FLAIR magnetic resonance.
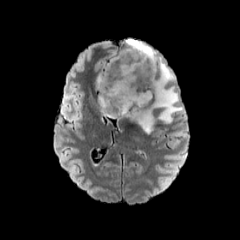
T1-weighted MR.
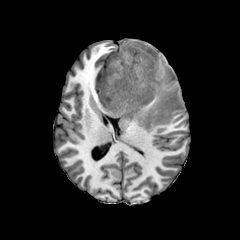
Post-contrast T1-weighted MR.
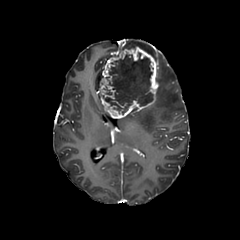
T2-weighted MR image.
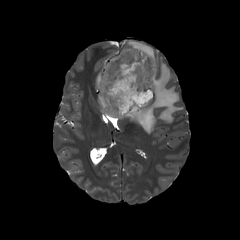
Axial slice
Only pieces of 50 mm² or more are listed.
Segmented structures:
- necrotic tumor core: rect(103, 53, 152, 114)
- enhancing tumor: rect(98, 46, 158, 118)
- peritumoral edema: rect(126, 40, 156, 60); rect(96, 73, 101, 89); rect(98, 94, 109, 115); rect(126, 57, 183, 133)